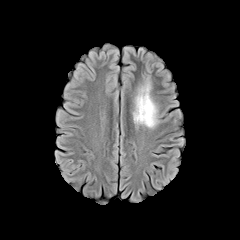
FLAIR MR.
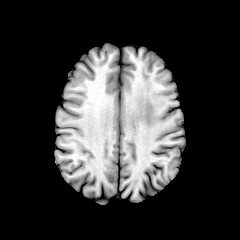
T1-weighted magnetic resonance of the same slice.
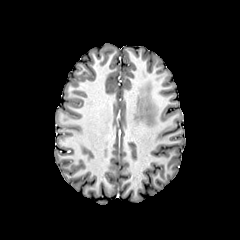
Post-contrast T1-weighted MR.
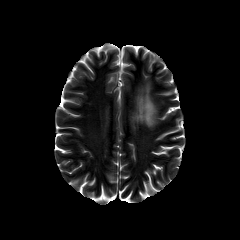
T2-weighted MR image of the same slice.
Image size 240x240
The peritumoral edema is at <bbox>133, 80, 158, 128</bbox>.